Slice 89/155. Image covers 240 mm x 240 mm. Head. Axial plane.
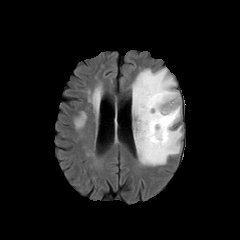
FLAIR MR image.
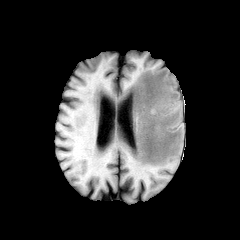
T1-weighted magnetic resonance.
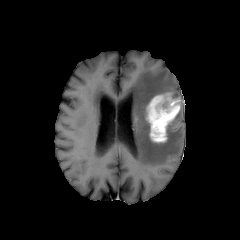
Post-contrast T1-weighted MR image.
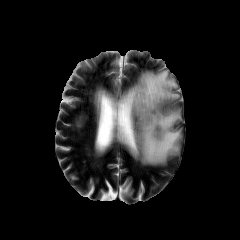
T2-weighted MR image.
peritumoral edema: x1=132, y1=68, x2=182, y2=166 | enhancing tumor: x1=145, y1=92, x2=180, y2=142